Head; Slice index 50; Axial view; 240x240 px
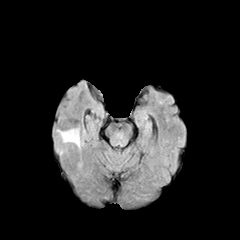
FLAIR magnetic resonance.
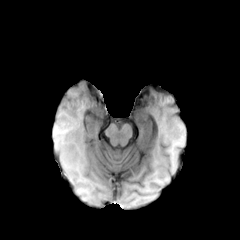
T1-weighted magnetic resonance.
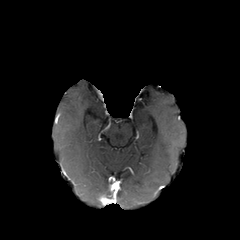
Post-contrast T1-weighted MR image.
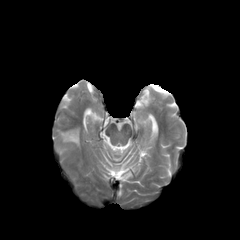
T2-weighted MRI.
peritumoral edema: bounding box bbox(61, 129, 79, 145)